FLAIR MR.
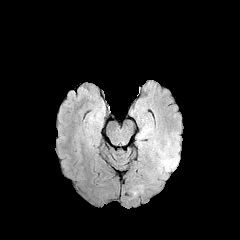
T1-weighted MRI.
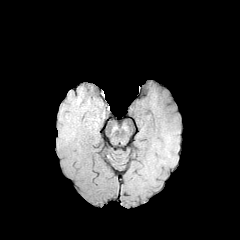
Post-contrast T1-weighted MR.
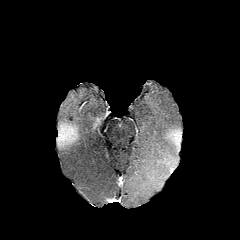
T2-weighted MRI.
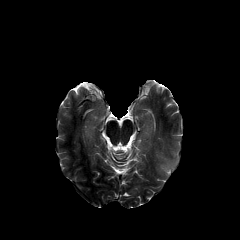
240x240
peritumoral edema: bounding box 148:132:181:170